FLAIR MR.
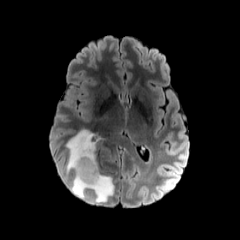
T1-weighted MR.
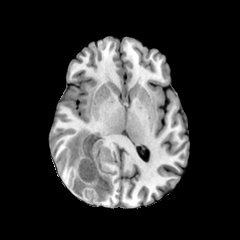
Post-contrast T1-weighted MRI.
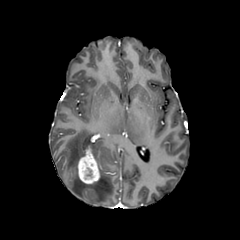
T2-weighted MR.
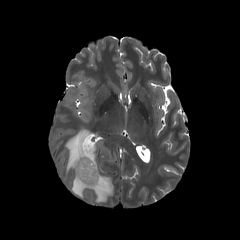
Axial plane | Head
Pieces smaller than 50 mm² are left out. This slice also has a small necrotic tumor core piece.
enhancing tumor: region(77, 146, 100, 184) | peritumoral edema: region(66, 129, 114, 203)